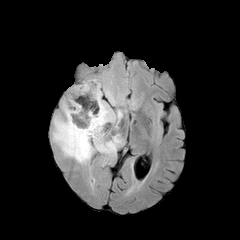
FLAIR MRI.
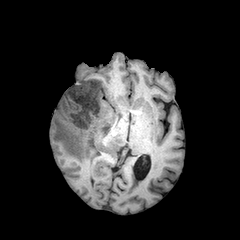
T1-weighted MR.
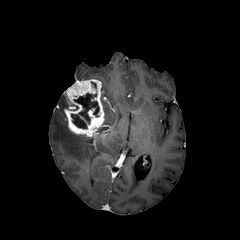
Same slice, post-contrast T1-weighted magnetic resonance.
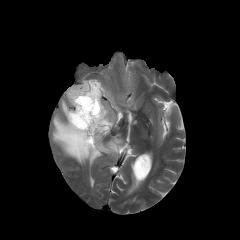
T2-weighted magnetic resonance.
Head, Axial plane
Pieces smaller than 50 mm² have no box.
enhancing tumor — [64,79,104,136]
peritumoral edema — [52,96,122,164], [102,83,116,105]
necrotic tumor core — [71,93,99,128]